Slice index 100 | 240x240 | Axial view | Head
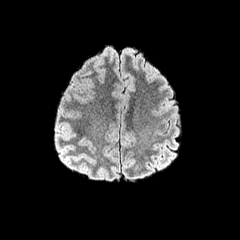
FLAIR MRI.
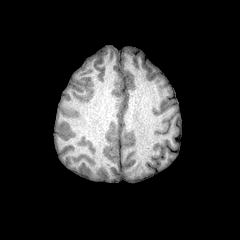
T1-weighted MRI of the same slice.
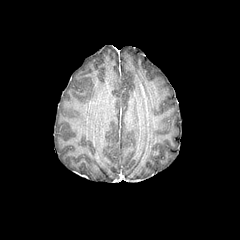
Post-contrast T1-weighted MR.
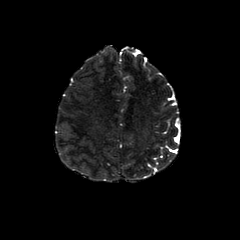
T2-weighted MR.
peritumoral_edema:
  - [x1=93, y1=48, x2=114, y2=64]